Brain | Axial view | Slice index 76
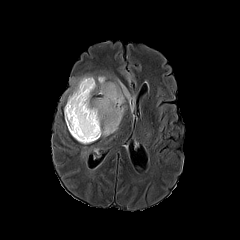
FLAIR MR.
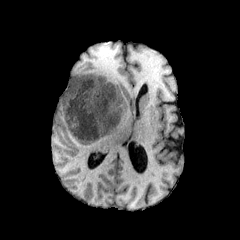
Same slice, T1-weighted MRI.
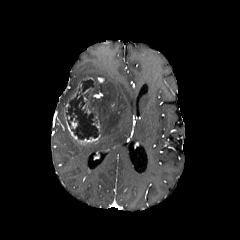
Post-contrast T1-weighted MR.
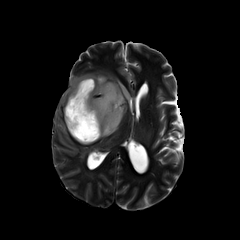
T2-weighted MRI.
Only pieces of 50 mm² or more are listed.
necrotic tumor core: bounding box rect(66, 79, 99, 139)
enhancing tumor: bounding box rect(64, 77, 100, 144); rect(82, 88, 94, 114)
peritumoral edema: bounding box rect(66, 74, 134, 137)